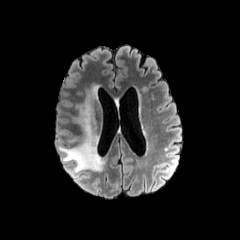
FLAIR magnetic resonance.
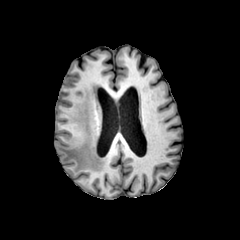
T1-weighted magnetic resonance.
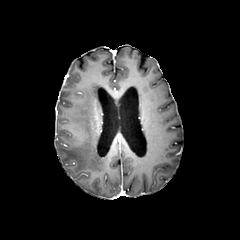
Post-contrast T1-weighted magnetic resonance of the same slice.
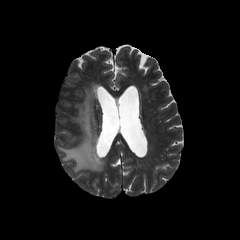
Same slice, T2-weighted magnetic resonance.
Brain
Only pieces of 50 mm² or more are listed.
peritumoral edema — 58:85:105:172